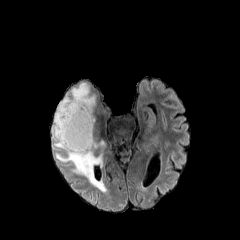
FLAIR MR.
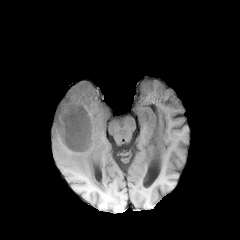
T1-weighted MR image.
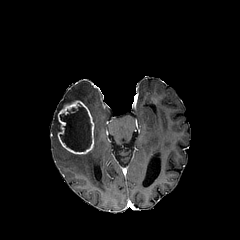
Same slice, post-contrast T1-weighted MR image.
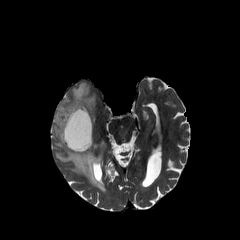
T2-weighted magnetic resonance of the same slice.
Axial slice | Brain | 240x240 px
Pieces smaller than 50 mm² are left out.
{"necrotic_tumor_core": ["[60,103,91,151]"], "enhancing_tumor": ["[57,100,94,154]"], "peritumoral_edema": ["[52,82,106,191]"]}